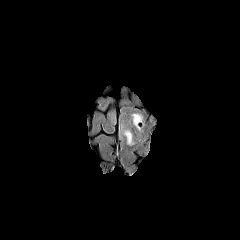
FLAIR MRI.
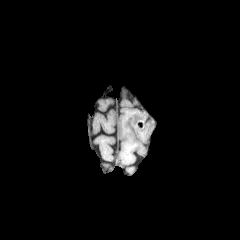
T1-weighted MR image of the same slice.
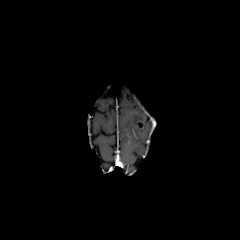
Post-contrast T1-weighted MR.
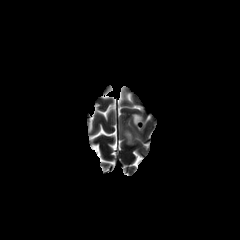
T2-weighted MR image.
240x240 px. Axial slice.
<segmentation>
  <peritumoral_edema>l=119, t=127, r=134, b=144</peritumoral_edema>
</segmentation>